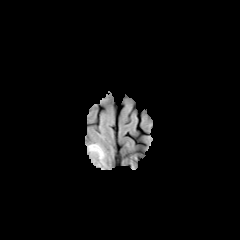
FLAIR magnetic resonance.
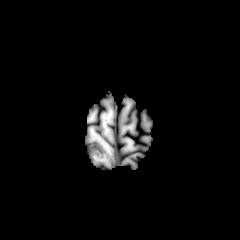
T1-weighted MRI of the same slice.
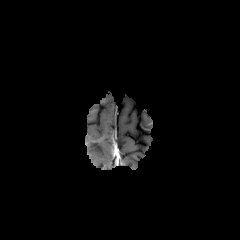
Post-contrast T1-weighted MR.
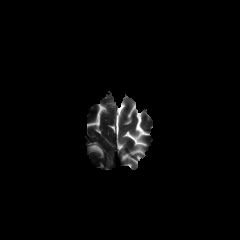
Same slice, T2-weighted MR.
Axial slice. 240x240. Head.
peritumoral edema: region(89, 144, 103, 158)